Slice index 115 | Image width 240 mm
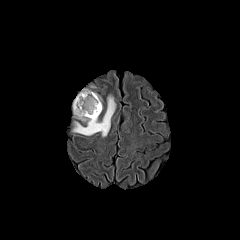
FLAIR MR.
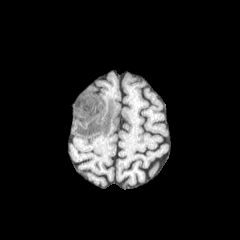
T1-weighted MR.
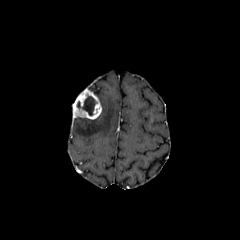
Post-contrast T1-weighted MRI.
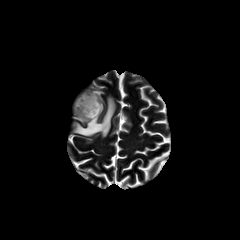
T2-weighted MR image.
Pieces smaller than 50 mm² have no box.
The enhancing tumor appears at <box>72,89,101,119</box>. The largest peritumoral edema region is at <box>73,95,115,137</box>. The largest necrotic tumor core region lies within <box>82,96,95,115</box>.